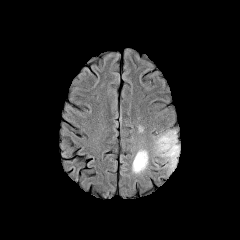
FLAIR MRI.
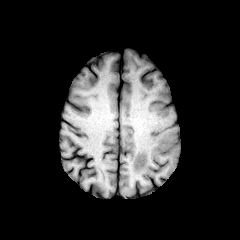
T1-weighted magnetic resonance.
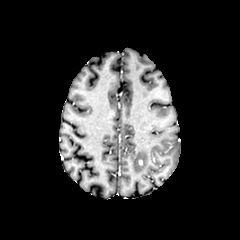
Post-contrast T1-weighted MRI.
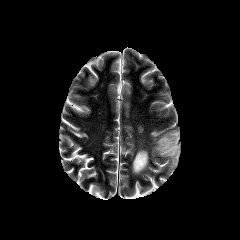
T2-weighted MR.
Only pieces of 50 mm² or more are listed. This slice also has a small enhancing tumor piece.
Annotated regions:
* peritumoral edema: region(132, 148, 148, 174); region(154, 130, 180, 175)